FLAIR MRI.
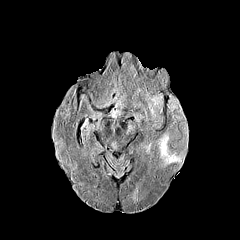
T1-weighted MRI.
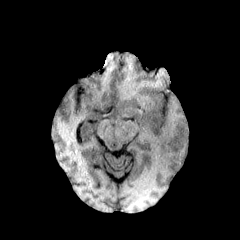
Post-contrast T1-weighted MRI.
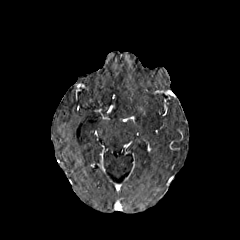
T2-weighted MRI.
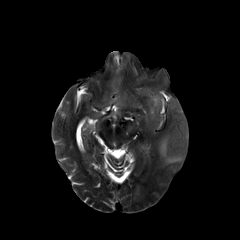
Axial plane, Brain
Findings:
• peritumoral edema: [159, 133, 180, 164]